FLAIR MRI.
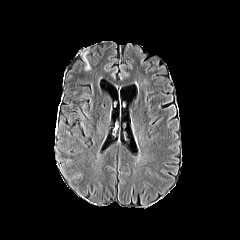
T1-weighted magnetic resonance.
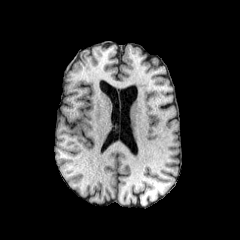
Post-contrast T1-weighted MR.
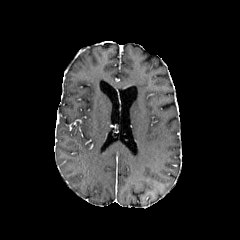
T2-weighted magnetic resonance.
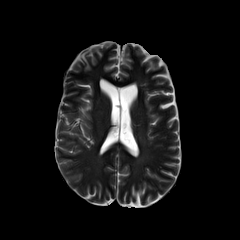
{
  "peritumoral_edema": [
    "(80,49,91,71)"
  ]
}